Image width 240 mm. Axial plane.
FLAIR MR.
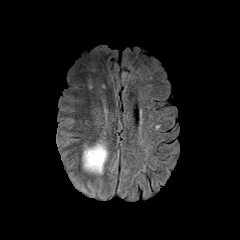
T1-weighted MR.
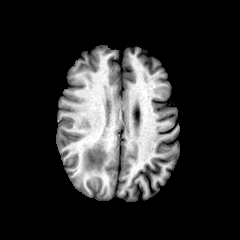
Post-contrast T1-weighted MRI.
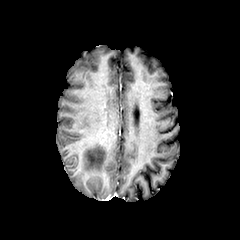
T2-weighted MRI.
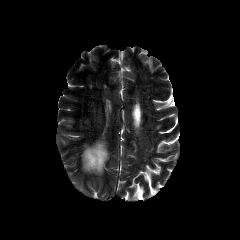
{"peritumoral_edema": ["box(82, 141, 108, 174)"]}